FLAIR MR image.
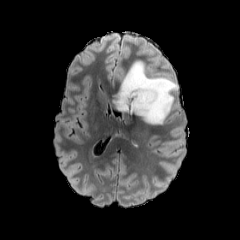
T1-weighted MRI.
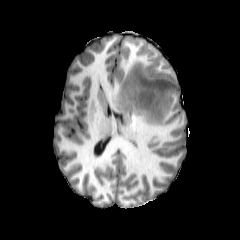
Post-contrast T1-weighted MR.
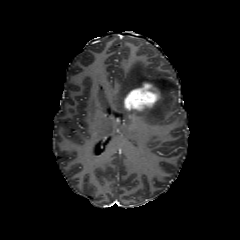
T2-weighted MRI.
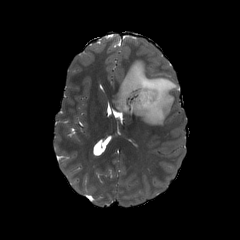
240x240.
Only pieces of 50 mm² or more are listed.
The largest peritumoral edema region appears at [112, 59, 177, 125]. The enhancing tumor appears at [124, 81, 161, 110].